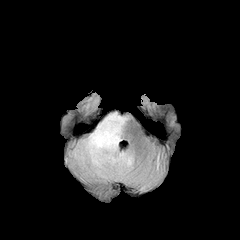
FLAIR MR.
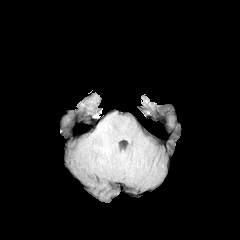
T1-weighted MR.
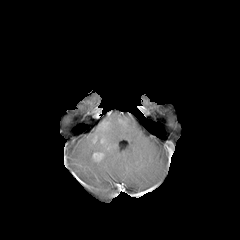
Post-contrast T1-weighted MR of the same slice.
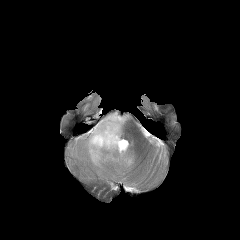
Same slice, T2-weighted magnetic resonance.
Head.
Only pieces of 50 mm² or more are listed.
<segmentation>
  <peritumoral_edema>bbox(70, 112, 134, 178)</peritumoral_edema>
  <enhancing_tumor>bbox(92, 152, 103, 161)</enhancing_tumor>
</segmentation>